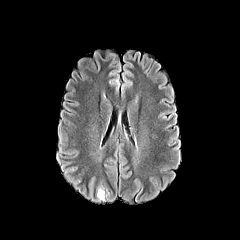
FLAIR magnetic resonance.
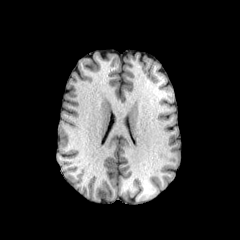
Same slice, T1-weighted magnetic resonance.
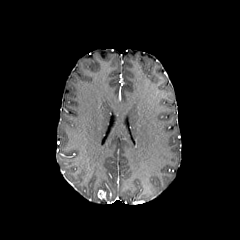
Post-contrast T1-weighted MR.
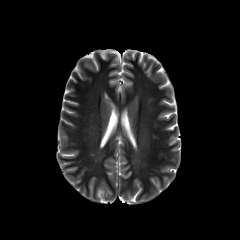
T2-weighted magnetic resonance.
Axial view. Head.
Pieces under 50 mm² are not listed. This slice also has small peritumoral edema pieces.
The enhancing tumor appears at 97 190 104 199.